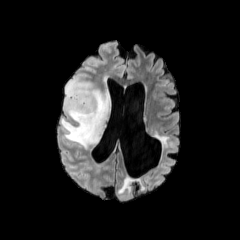
FLAIR MR image.
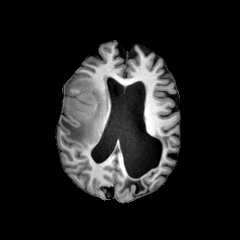
Same slice, T1-weighted MR image.
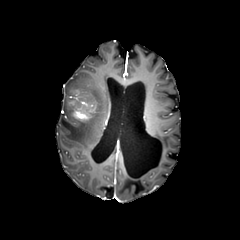
Post-contrast T1-weighted magnetic resonance of the same slice.
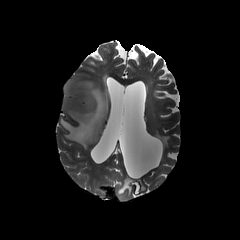
T2-weighted magnetic resonance.
Brain.
enhancing tumor — 69,92,93,120
peritumoral edema — 60,77,110,148